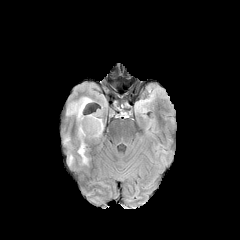
FLAIR MR image.
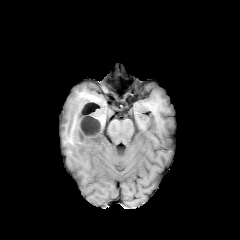
T1-weighted magnetic resonance.
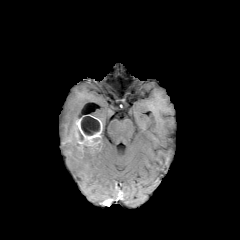
Post-contrast T1-weighted MR of the same slice.
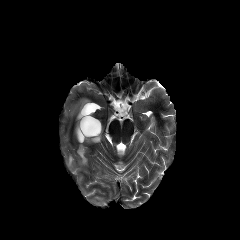
T2-weighted MRI of the same slice.
Brain. Axial slice.
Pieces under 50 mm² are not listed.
Findings:
* necrotic tumor core: box(81, 116, 99, 135)
* peritumoral edema: box(68, 155, 73, 165); box(77, 145, 88, 164); box(66, 97, 90, 115)
* enhancing tumor: box(75, 115, 102, 151)